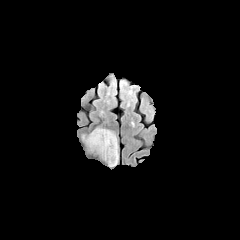
FLAIR MRI.
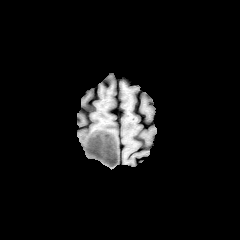
T1-weighted MR.
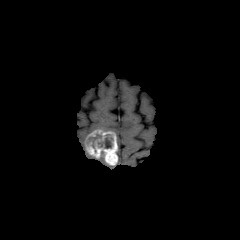
Post-contrast T1-weighted MR image.
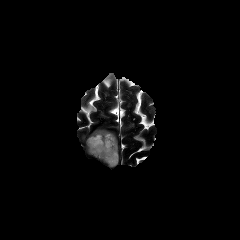
T2-weighted MR of the same slice.
Axial view. Brain. 240x240.
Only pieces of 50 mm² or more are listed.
{"peritumoral_edema": ["80 131 115 167", "116 134 119 161"], "necrotic_tumor_core": ["98 135 111 148"], "enhancing_tumor": ["85 129 117 165"]}